FLAIR MRI.
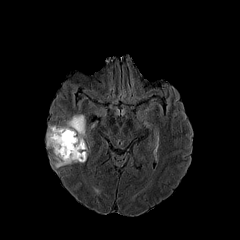
T1-weighted MRI.
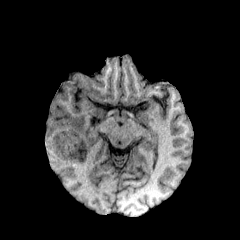
Post-contrast T1-weighted MR image.
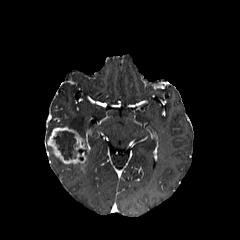
T2-weighted MRI.
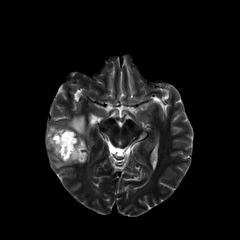
Head. Axial plane.
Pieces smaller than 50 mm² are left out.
The largest enhancing tumor region appears at x1=47, y1=126, x2=88, y2=165. The largest necrotic tumor core region appears at x1=53, y1=131, x2=87, y2=159. The 3 largest peritumoral edema regions are located at x1=50, y1=152, x2=66, y2=168; x1=46, y1=125, x2=61, y2=140; x1=63, y1=115, x2=85, y2=137.